FLAIR magnetic resonance.
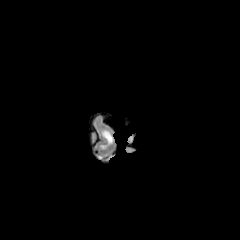
T1-weighted magnetic resonance.
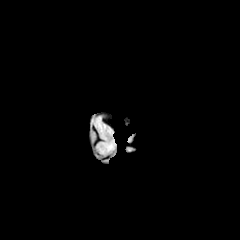
Post-contrast T1-weighted magnetic resonance.
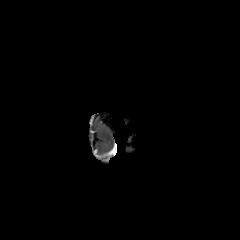
T2-weighted MRI.
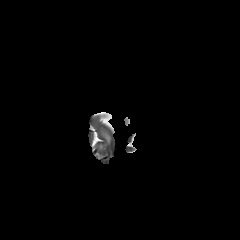
Head | Axial plane | 240x240 px
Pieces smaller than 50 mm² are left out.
The largest peritumoral edema region appears at (102,130,112,143).